FLAIR MR.
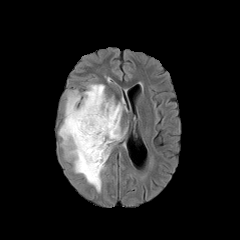
T1-weighted MR image.
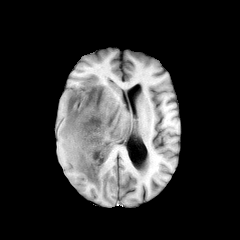
Post-contrast T1-weighted MRI.
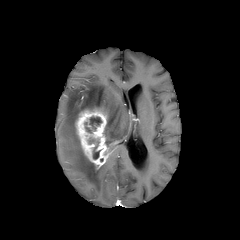
T2-weighted MR.
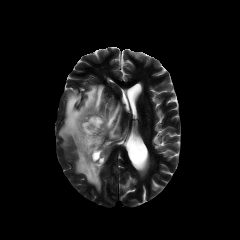
Image size 240x240 | Head
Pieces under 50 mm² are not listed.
The enhancing tumor is bounded by [75,107,110,169]. The 2 largest necrotic tumor core regions are bounded by [90,117,101,129], [93,146,99,159]. The peritumoral edema is at [59,84,126,191].